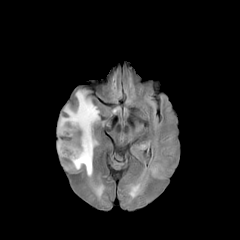
FLAIR magnetic resonance.
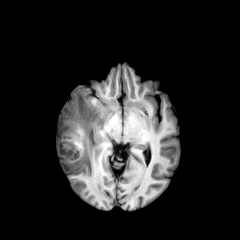
T1-weighted MRI.
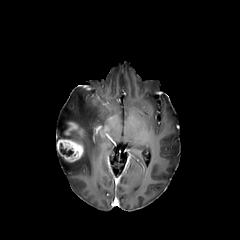
Post-contrast T1-weighted MR.
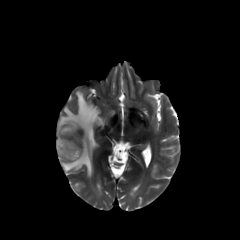
Same slice, T2-weighted MRI.
240x240 px; Axial plane
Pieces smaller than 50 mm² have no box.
necrotic tumor core = [60,143,73,155], [63,131,80,141]
peritumoral edema = [58,90,100,176]
enhancing tumor = [64,122,78,136], [56,138,83,162]